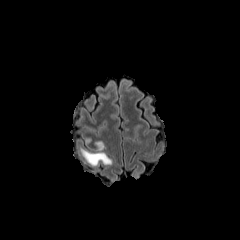
FLAIR MRI.
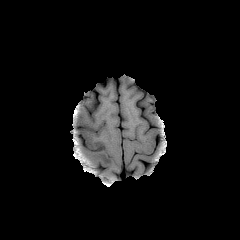
T1-weighted MR.
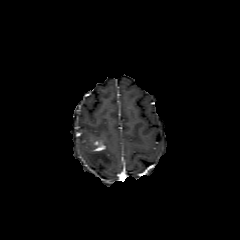
Post-contrast T1-weighted MR image.
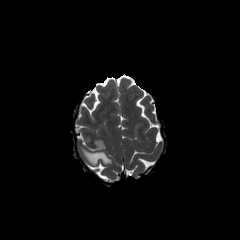
T2-weighted MRI.
Brain, Image size 240x240
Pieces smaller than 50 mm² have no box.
peritumoral edema: [79,147,112,166] | enhancing tumor: [94,141,105,150]